FLAIR magnetic resonance.
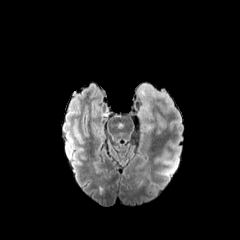
T1-weighted MRI.
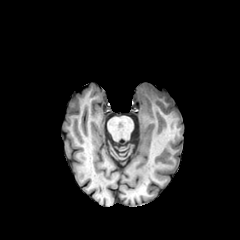
Post-contrast T1-weighted MR.
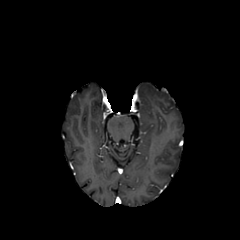
T2-weighted MRI.
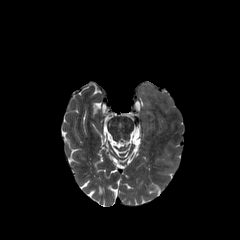
Brain.
peritumoral edema: <bbox>136, 82, 174, 119</bbox>